Slice 46 of 155 | Brain | 240x240 px
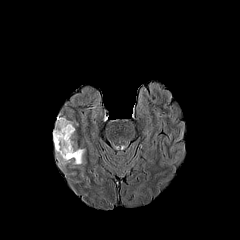
FLAIR magnetic resonance.
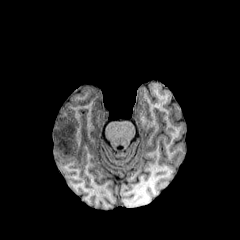
T1-weighted magnetic resonance.
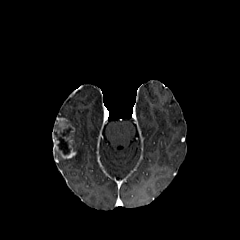
Post-contrast T1-weighted MR image of the same slice.
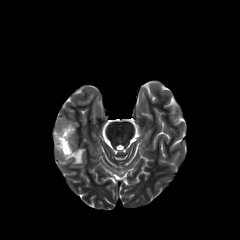
Same slice, T2-weighted MR.
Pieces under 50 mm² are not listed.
enhancing_tumor:
  - [52,117,76,158]
necrotic_tumor_core:
  - [54,126,72,154]
peritumoral_edema:
  - [55,140,84,167]